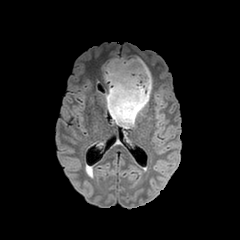
FLAIR MRI.
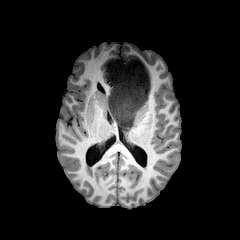
T1-weighted MRI.
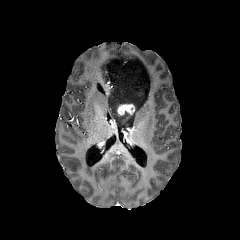
Same slice, post-contrast T1-weighted magnetic resonance.
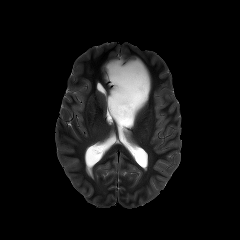
T2-weighted MRI.
Head; Axial view
The enhancing tumor appears at region(117, 104, 135, 115). The peritumoral edema is at region(102, 57, 152, 127).